Image width 240 mm.
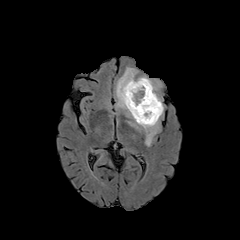
FLAIR magnetic resonance.
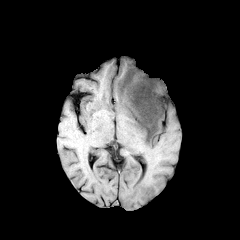
T1-weighted MR image of the same slice.
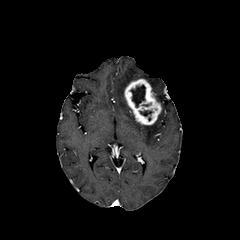
Same slice, post-contrast T1-weighted MR image.
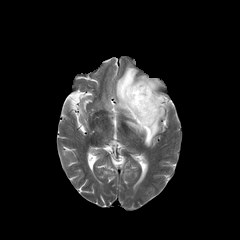
T2-weighted MR image.
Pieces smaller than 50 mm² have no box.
enhancing_tumor:
  - 124 78 162 125
necrotic_tumor_core:
  - 131 85 145 107
  - 140 111 152 116
peritumoral_edema:
  - 116 67 163 146
  - 138 76 161 92